FLAIR magnetic resonance.
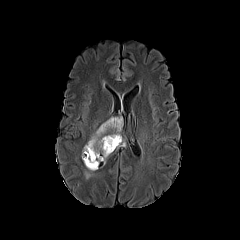
T1-weighted MR image.
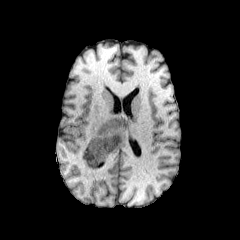
Post-contrast T1-weighted MRI.
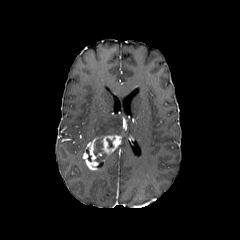
T2-weighted MR.
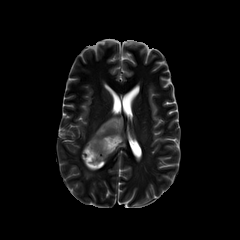
Axial plane; 240x240
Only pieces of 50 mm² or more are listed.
peritumoral_edema:
  - (left=89, top=117, right=122, bottom=141)
necrotic_tumor_core:
  - (left=94, top=138, right=102, bottom=155)
enhancing_tumor:
  - (left=82, top=134, right=121, bottom=170)